Head. Image covers 240 mm x 240 mm. Image size 240x240.
FLAIR MR image.
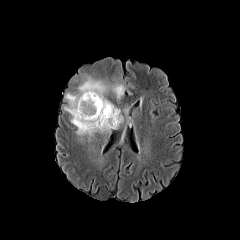
T1-weighted MR.
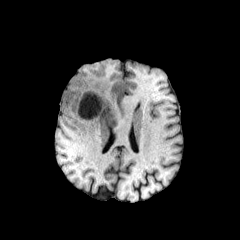
Post-contrast T1-weighted MRI.
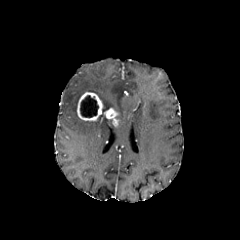
T2-weighted magnetic resonance.
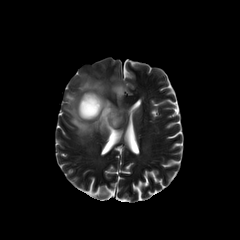
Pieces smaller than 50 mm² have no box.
Findings:
• peritumoral edema: [x1=64, y1=69, x2=124, y2=136]
• necrotic tumor core: [x1=80, y1=95, x2=98, y2=117]
• enhancing tumor: [x1=77, y1=92, x2=119, y2=126]